240x240 px, Head
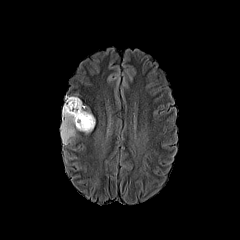
FLAIR MRI.
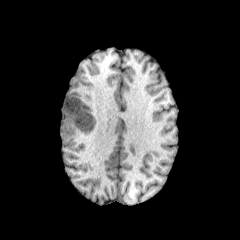
T1-weighted MR of the same slice.
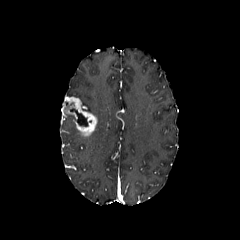
Post-contrast T1-weighted MRI.
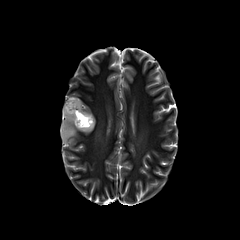
T2-weighted MR image.
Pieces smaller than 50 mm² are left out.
necrotic tumor core: 69 108 88 126 | enhancing tumor: 62 96 96 136 | peritumoral edema: 61 114 77 144